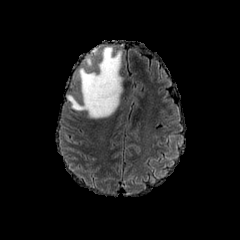
FLAIR MR image.
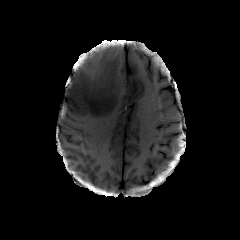
Same slice, T1-weighted MRI.
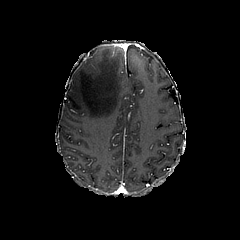
Same slice, post-contrast T1-weighted magnetic resonance.
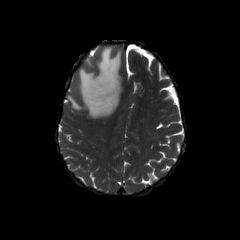
Same slice, T2-weighted magnetic resonance.
240x240 px; Head
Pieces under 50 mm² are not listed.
The 2 largest peritumoral edema regions are located at left=67, top=46, right=122, bottom=118; left=86, top=57, right=92, bottom=67.